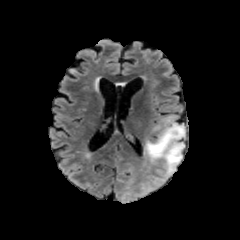
FLAIR MR.
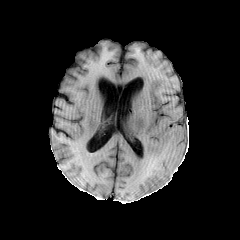
Same slice, T1-weighted MR image.
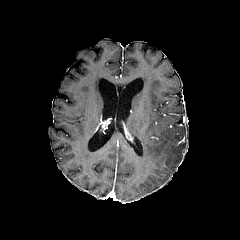
Post-contrast T1-weighted MR image of the same slice.
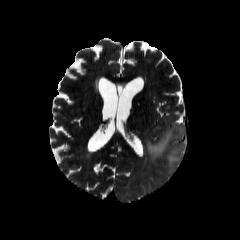
Same slice, T2-weighted magnetic resonance.
Head.
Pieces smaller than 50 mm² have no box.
peritumoral edema = rect(145, 122, 185, 172)